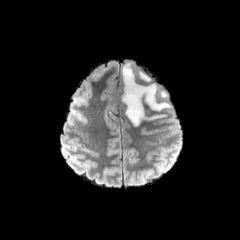
FLAIR MR.
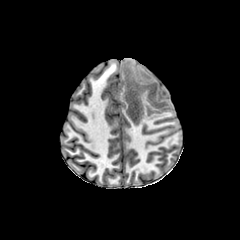
Same slice, T1-weighted magnetic resonance.
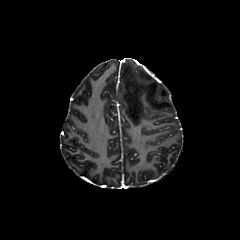
Post-contrast T1-weighted MR image of the same slice.
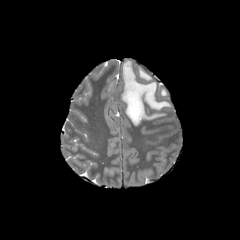
T2-weighted MR image.
Head
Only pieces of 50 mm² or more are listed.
peritumoral edema — region(122, 62, 170, 125); region(139, 70, 150, 81)